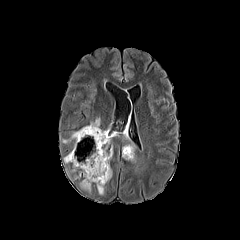
FLAIR MR image.
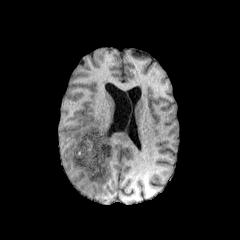
T1-weighted MR image.
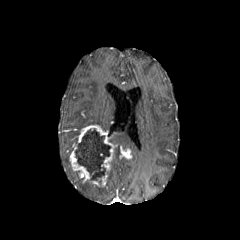
Same slice, post-contrast T1-weighted MR.
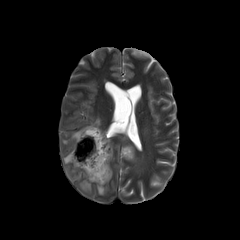
T2-weighted MR of the same slice.
Axial slice, 240x240
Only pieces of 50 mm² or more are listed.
Annotated regions:
* enhancing tumor: 69:125:115:186, 121:148:132:159
* necrotic tumor core: 75:129:110:180
* peritumoral edema: 80:181:91:192, 123:144:135:161, 97:186:104:194, 62:130:79:143, 63:153:70:163, 90:118:100:125